Axial plane | Head | 240x240 px
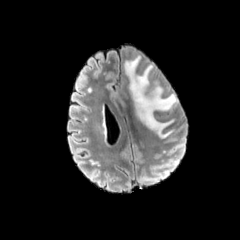
FLAIR magnetic resonance.
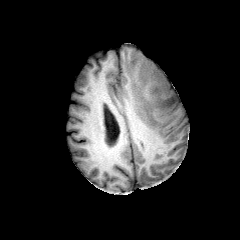
T1-weighted MR image.
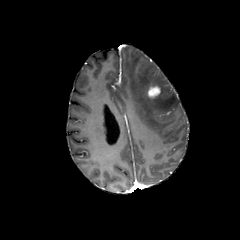
Post-contrast T1-weighted MRI.
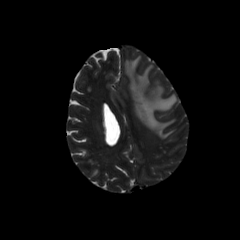
T2-weighted MRI of the same slice.
Annotated regions:
- enhancing tumor: [148, 85, 160, 98]
- peritumoral edema: [124, 56, 178, 138]